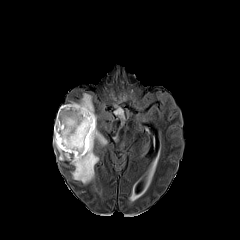
FLAIR magnetic resonance.
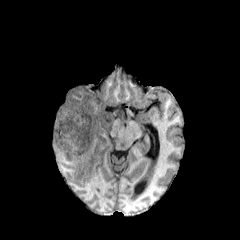
T1-weighted MR image.
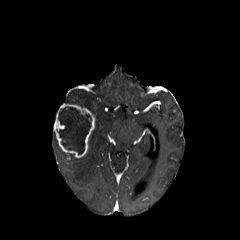
Post-contrast T1-weighted MR of the same slice.
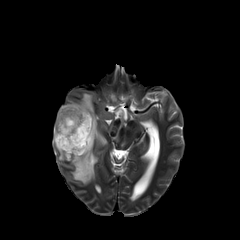
T2-weighted MR.
Head
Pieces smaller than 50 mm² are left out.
Segmented structures:
• peritumoral edema: region(128, 184, 145, 202); region(53, 115, 107, 184); region(113, 107, 124, 119); region(70, 93, 94, 114)
• necrotic tumor core: region(58, 106, 91, 154)
• enhancing tumor: region(54, 104, 95, 157)